Brain. Slice index 45.
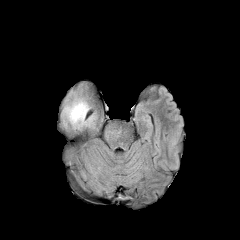
FLAIR MRI.
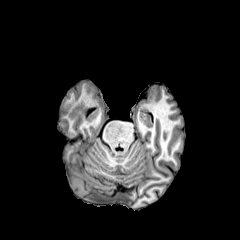
Same slice, T1-weighted magnetic resonance.
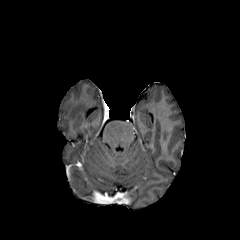
Same slice, post-contrast T1-weighted magnetic resonance.
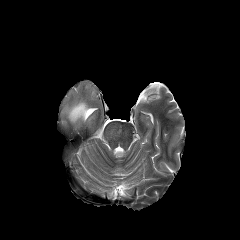
T2-weighted MR image.
The peritumoral edema appears at (62,98,95,126).